Slice 124 of 155; Image width 240 mm, 1.00 mm slice spacing
FLAIR magnetic resonance.
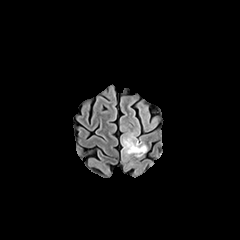
T1-weighted magnetic resonance.
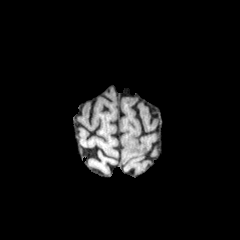
Post-contrast T1-weighted MRI.
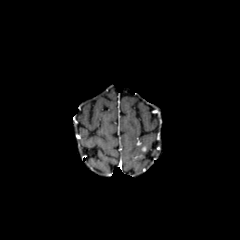
T2-weighted MR image.
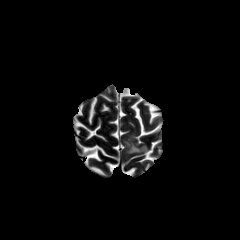
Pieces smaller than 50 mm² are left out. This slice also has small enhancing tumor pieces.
peritumoral_edema:
  - [x1=121, y1=133, x2=145, y2=160]